Image width 240 mm | Head
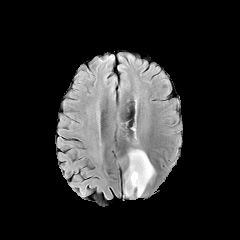
FLAIR MR image.
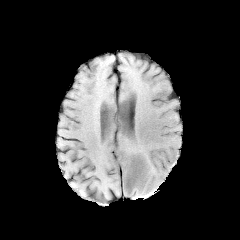
T1-weighted MRI.
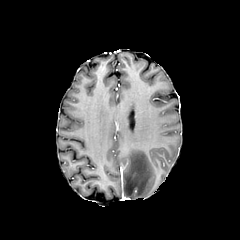
Post-contrast T1-weighted MR.
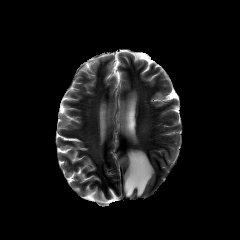
T2-weighted magnetic resonance of the same slice.
Segmented structures:
* peritumoral edema: box(124, 149, 154, 196)